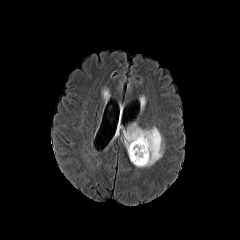
FLAIR MR.
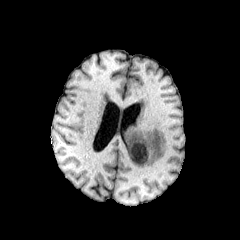
Same slice, T1-weighted MR image.
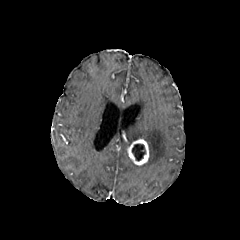
Same slice, post-contrast T1-weighted MRI.
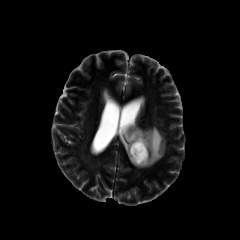
T2-weighted MR.
Axial slice
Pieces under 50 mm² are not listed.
necrotic tumor core = left=132, top=144, right=145, bottom=161
peritumoral edema = left=124, top=125, right=164, bottom=167
enhancing tumor = left=127, top=138, right=149, bottom=165